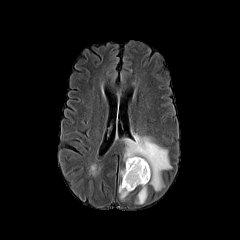
FLAIR MR image.
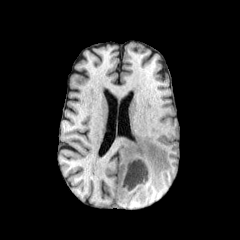
T1-weighted MR of the same slice.
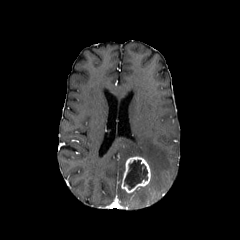
Same slice, post-contrast T1-weighted MRI.
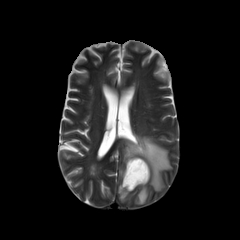
Same slice, T2-weighted magnetic resonance.
Axial plane.
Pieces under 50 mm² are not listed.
necrotic_tumor_core:
  - (x1=124, y1=160, x2=147, y2=189)
enhancing_tumor:
  - (x1=121, y1=156, x2=150, y2=192)
peritumoral_edema:
  - (x1=123, y1=133, x2=171, y2=191)
  - (x1=118, y1=184, x2=129, y2=200)
  - (x1=137, y1=186, x2=147, y2=204)